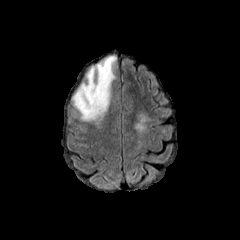
FLAIR MR.
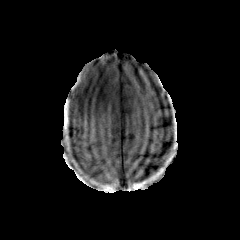
T1-weighted magnetic resonance.
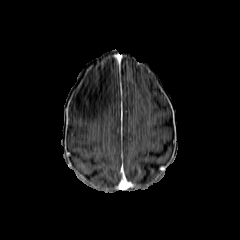
Post-contrast T1-weighted MR.
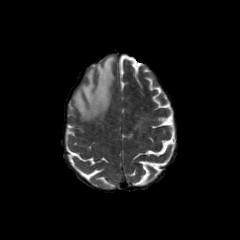
T2-weighted magnetic resonance of the same slice.
Head; Image size 240x240
{
  "peritumoral_edema": [
    "box=[72, 55, 116, 123]"
  ]
}